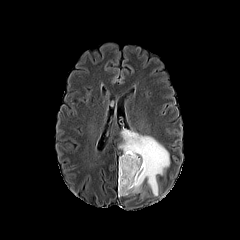
FLAIR MR image.
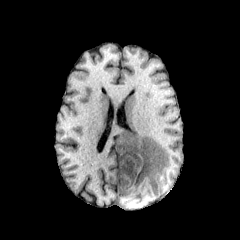
T1-weighted MR of the same slice.
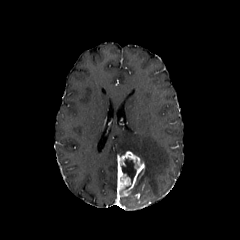
Post-contrast T1-weighted magnetic resonance of the same slice.
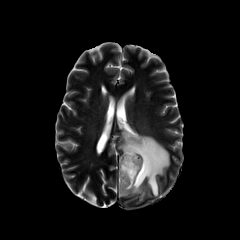
T2-weighted MR image.
Axial slice, 240x240
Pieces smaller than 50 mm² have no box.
The peritumoral edema is at l=118, t=129, r=169, b=195. The largest necrotic tumor core region is bounded by l=121, t=159, r=136, b=183. The enhancing tumor lies within l=117, t=151, r=144, b=196.